FLAIR MRI.
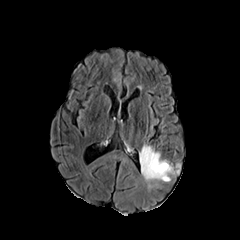
T1-weighted MR image.
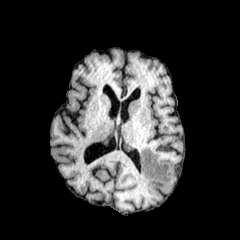
Post-contrast T1-weighted magnetic resonance.
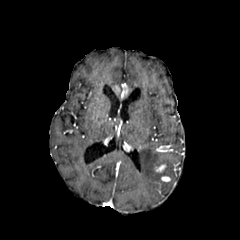
T2-weighted MR.
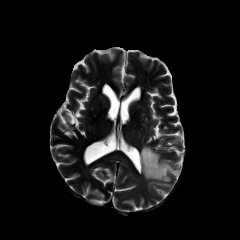
Axial slice. Head. Image size 240x240.
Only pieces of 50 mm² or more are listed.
{"peritumoral_edema": ["l=139, t=145, r=174, b=187"], "enhancing_tumor": ["l=155, t=164, r=165, b=172"]}